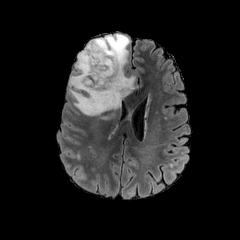
FLAIR MR.
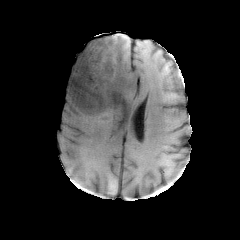
T1-weighted MR of the same slice.
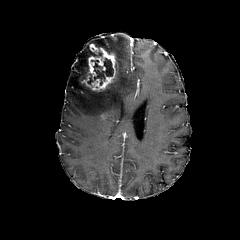
Post-contrast T1-weighted MRI of the same slice.
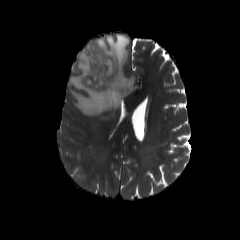
T2-weighted MR.
Axial view. Head. 240x240 px.
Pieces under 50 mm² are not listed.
enhancing tumor: [x1=80, y1=44, x2=117, y2=91]
necrotic tumor core: [x1=87, y1=58, x2=113, y2=84]
peritumoral edema: [x1=68, y1=34, x2=134, y2=115]